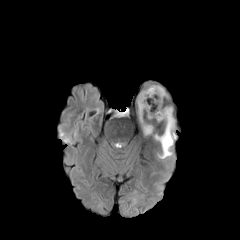
FLAIR MRI.
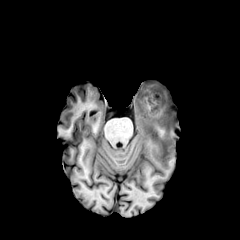
T1-weighted MR image of the same slice.
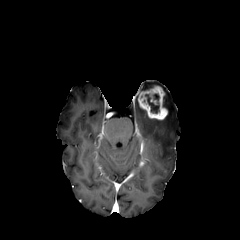
Post-contrast T1-weighted MR image.
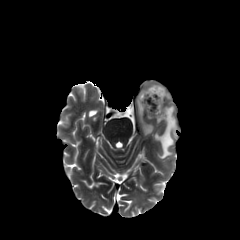
T2-weighted MR.
Head.
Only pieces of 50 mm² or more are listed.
{
  "necrotic_tumor_core": [
    "box(145, 94, 159, 113)"
  ],
  "peritumoral_edema": [
    "box(155, 106, 176, 158)",
    "box(139, 107, 143, 123)",
    "box(143, 124, 153, 134)"
  ],
  "enhancing_tumor": [
    "box(138, 85, 167, 120)"
  ]
}